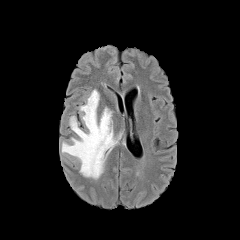
FLAIR MR.
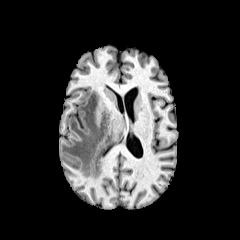
T1-weighted MR image.
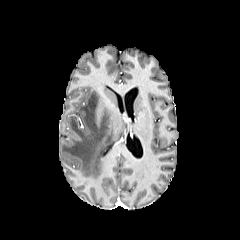
Post-contrast T1-weighted magnetic resonance of the same slice.
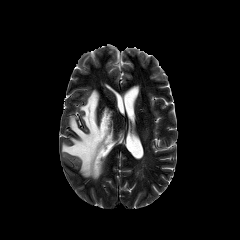
T2-weighted magnetic resonance.
Brain | Axial view
Findings:
* peritumoral edema: <box>62,90,116,179</box>